Axial slice; Image size 240x240
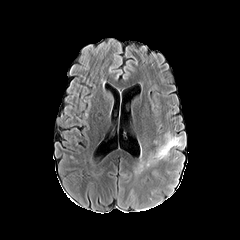
FLAIR magnetic resonance.
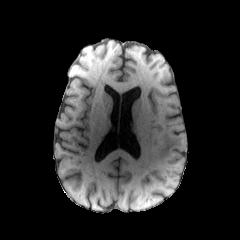
Same slice, T1-weighted MR image.
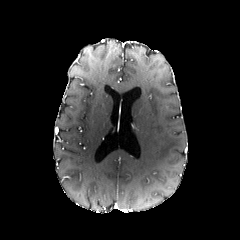
Post-contrast T1-weighted MR image of the same slice.
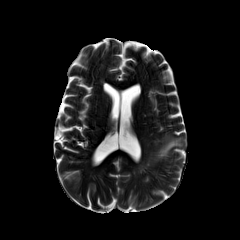
T2-weighted MR.
peritumoral edema: (left=134, top=159, right=144, bottom=173), (left=146, top=131, right=184, bottom=167)